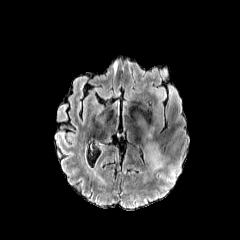
FLAIR MR image.
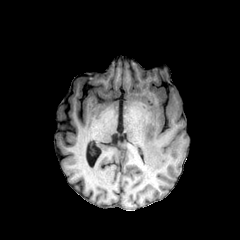
T1-weighted MR image.
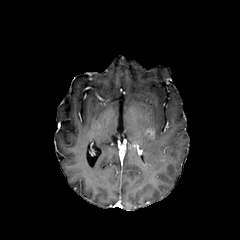
Post-contrast T1-weighted MR.
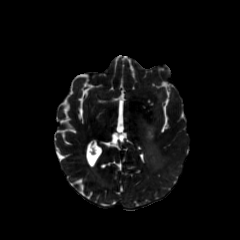
Same slice, T2-weighted magnetic resonance.
Axial plane; Image size 240x240
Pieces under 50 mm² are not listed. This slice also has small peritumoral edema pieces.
The enhancing tumor lies within bbox(144, 127, 154, 139).